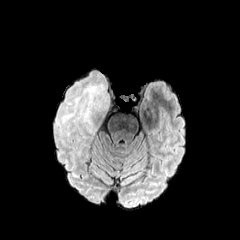
FLAIR MRI.
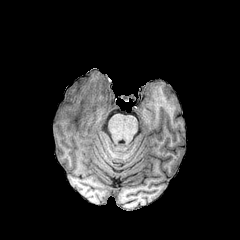
T1-weighted magnetic resonance.
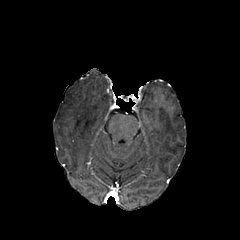
Post-contrast T1-weighted MRI.
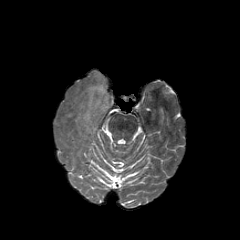
T2-weighted MR of the same slice.
240x240
The peritumoral edema appears at 56:70:110:134.